FLAIR MR image.
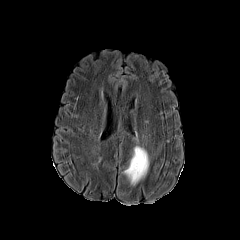
T1-weighted MR.
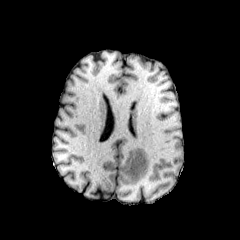
Post-contrast T1-weighted MRI.
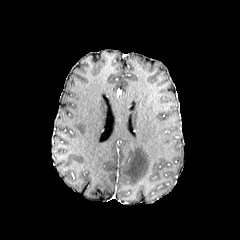
T2-weighted MR image.
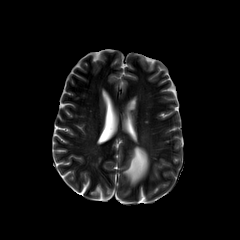
Axial plane; Image size 240x240
peritumoral edema: l=123, t=145, r=149, b=185